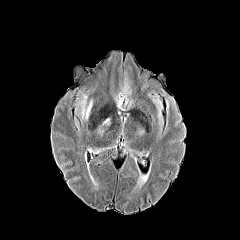
FLAIR MR.
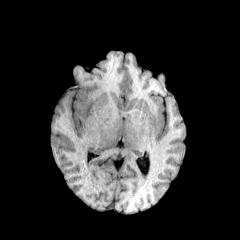
T1-weighted magnetic resonance.
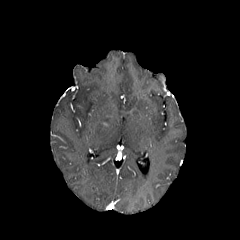
Same slice, post-contrast T1-weighted MRI.
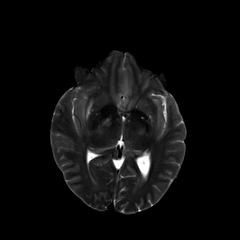
T2-weighted MRI.
Brain
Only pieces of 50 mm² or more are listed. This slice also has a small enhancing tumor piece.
peritumoral edema: <box>82,96,92,119</box>